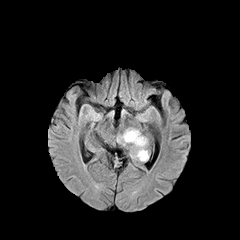
FLAIR MR image.
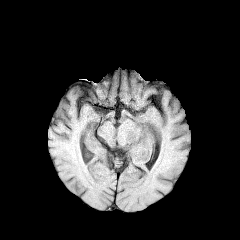
T1-weighted MR image of the same slice.
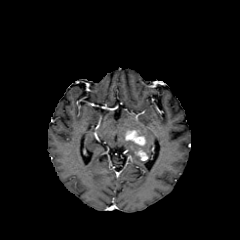
Post-contrast T1-weighted magnetic resonance of the same slice.
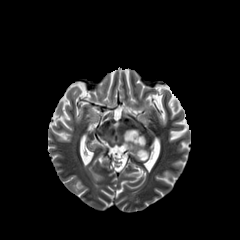
T2-weighted MRI.
Axial plane.
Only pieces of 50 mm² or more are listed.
The largest peritumoral edema region is bounded by region(118, 129, 148, 160). 2 enhancing tumor regions are bounded by region(136, 149, 147, 160); region(125, 130, 146, 145).